Brain, Axial view, Image covers 240 mm x 240 mm
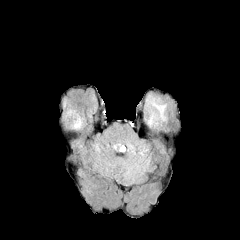
FLAIR MR image.
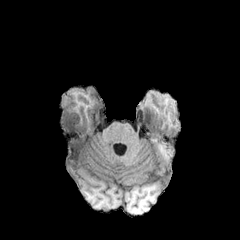
T1-weighted magnetic resonance.
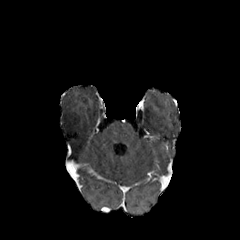
Post-contrast T1-weighted MR.
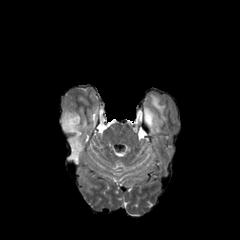
Same slice, T2-weighted MR.
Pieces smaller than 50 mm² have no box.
The 3 largest peritumoral edema regions appear at region(144, 101, 166, 126); region(71, 141, 83, 150); region(62, 109, 84, 129).